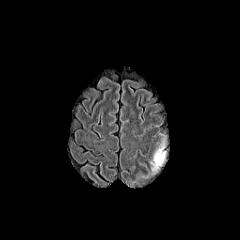
FLAIR magnetic resonance.
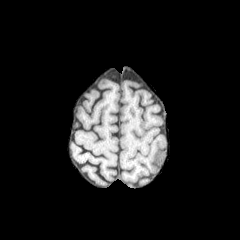
Same slice, T1-weighted MRI.
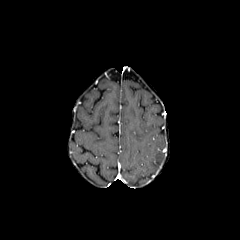
Post-contrast T1-weighted MR of the same slice.
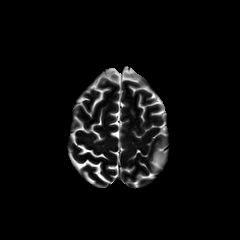
Same slice, T2-weighted MR.
Axial view; Brain
The peritumoral edema is located at [150, 140, 165, 172].